Slice 86 of 155 | Head | Image width 240 mm | 240x240
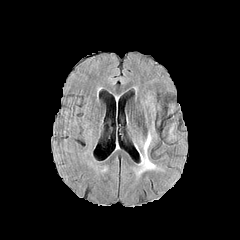
FLAIR MR.
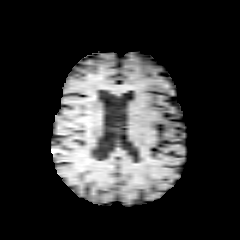
T1-weighted MRI of the same slice.
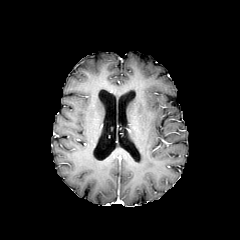
Post-contrast T1-weighted MR image.
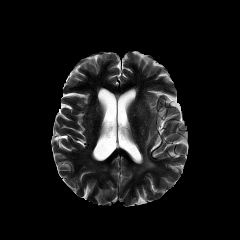
Same slice, T2-weighted MR image.
2 peritumoral edema regions are bounded by left=142, top=155, right=155, bottom=169; left=144, top=134, right=151, bottom=153.